Slice 111/155
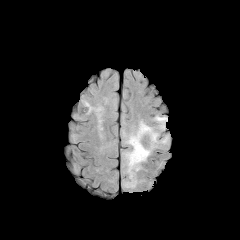
FLAIR MRI.
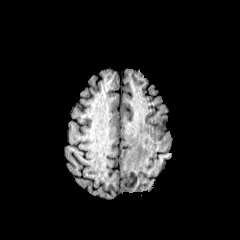
T1-weighted magnetic resonance.
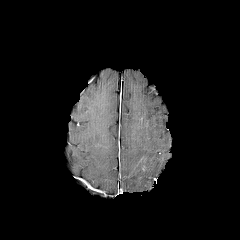
Post-contrast T1-weighted MR.
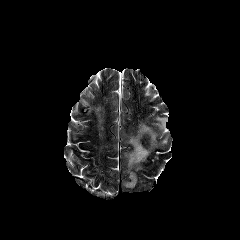
Same slice, T2-weighted MR.
peritumoral_edema:
  - 154:116:167:131
  - 124:121:168:187